Brain | Image width 240 mm
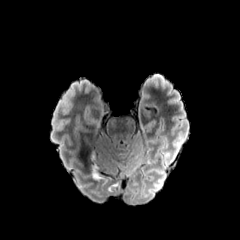
FLAIR MR image.
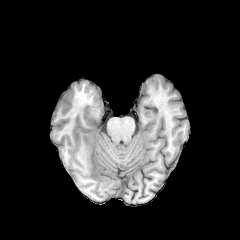
T1-weighted MR image of the same slice.
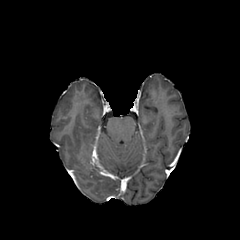
Post-contrast T1-weighted MR image.
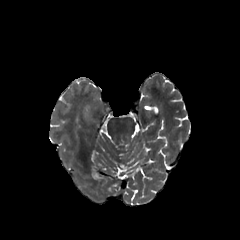
Same slice, T2-weighted magnetic resonance.
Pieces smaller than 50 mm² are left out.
• enhancing tumor: x1=91 y1=149 x2=102 y2=168
• peritumoral edema: x1=92 y1=165 x2=104 y2=179